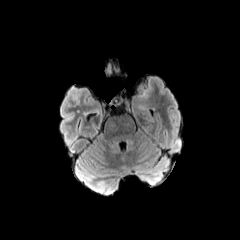
FLAIR MRI.
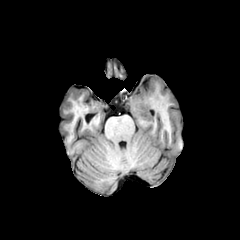
T1-weighted magnetic resonance of the same slice.
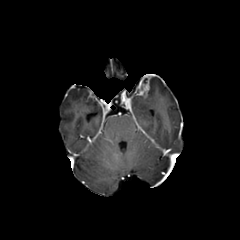
Post-contrast T1-weighted MR image.
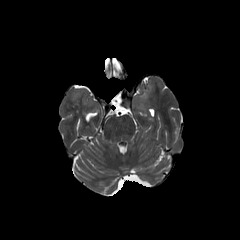
Same slice, T2-weighted magnetic resonance.
Brain.
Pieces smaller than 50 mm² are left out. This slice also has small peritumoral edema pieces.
The largest enhancing tumor region lies within 138, 78, 149, 98.